FLAIR MRI.
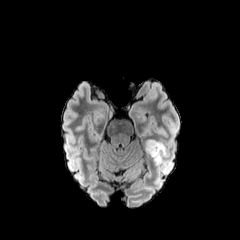
T1-weighted MRI.
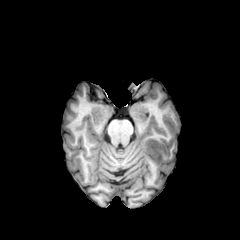
Post-contrast T1-weighted magnetic resonance.
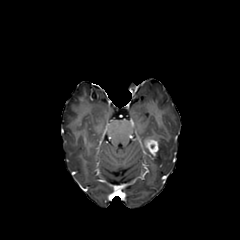
T2-weighted MR image.
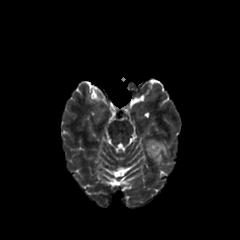
Axial plane
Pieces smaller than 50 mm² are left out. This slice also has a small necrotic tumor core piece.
* peritumoral edema: left=145, top=140, right=169, bottom=165
* enhancing tumor: left=145, top=139, right=158, bottom=156